Axial view | Image width 240 mm, 1.00 mm slice spacing
FLAIR MR.
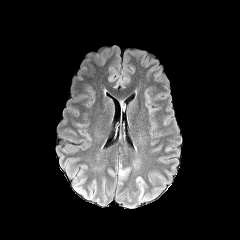
T1-weighted magnetic resonance.
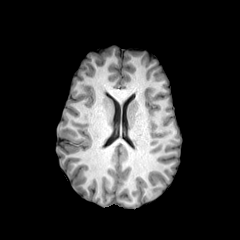
Post-contrast T1-weighted MR.
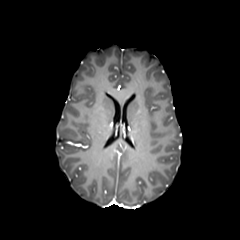
T2-weighted MRI.
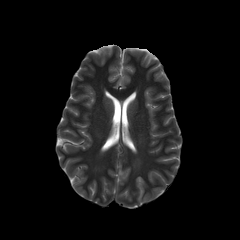
Annotated regions:
* peritumoral edema: 118, 164, 131, 175